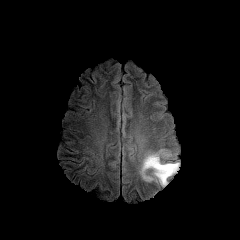
FLAIR magnetic resonance.
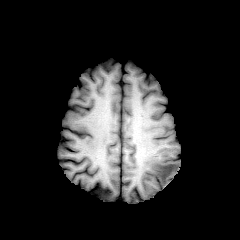
T1-weighted magnetic resonance.
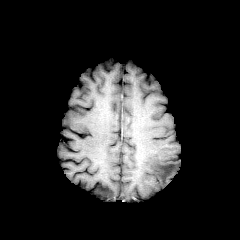
Post-contrast T1-weighted MR.
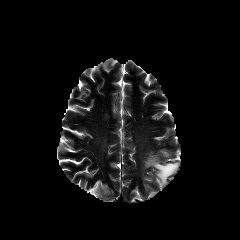
T2-weighted MRI.
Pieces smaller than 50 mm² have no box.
Findings:
• peritumoral edema: (143, 154, 179, 185)